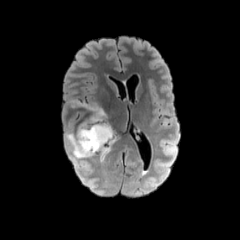
FLAIR MRI.
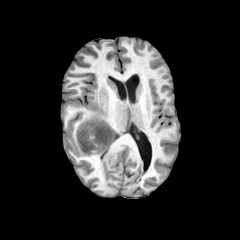
T1-weighted MR.
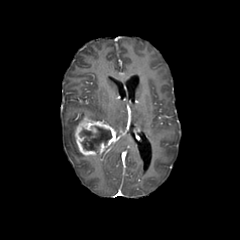
Post-contrast T1-weighted magnetic resonance.
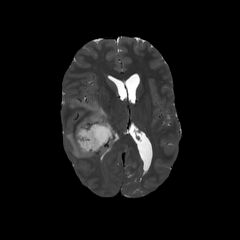
Same slice, T2-weighted MRI.
Axial view, Brain
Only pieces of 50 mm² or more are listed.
The 2 largest peritumoral edema regions are located at 88, 104, 106, 120; 66, 133, 91, 158. The necrotic tumor core is bounded by 81, 126, 111, 150. The enhancing tumor is located at 75, 117, 116, 156.